Slice 68/155
FLAIR MRI.
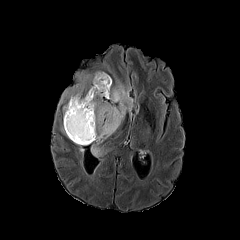
T1-weighted MR.
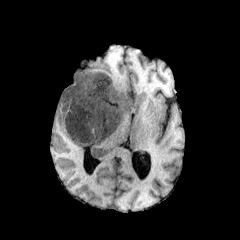
Post-contrast T1-weighted magnetic resonance.
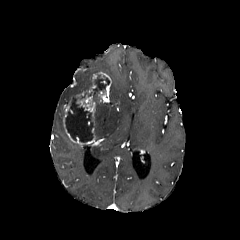
T2-weighted magnetic resonance.
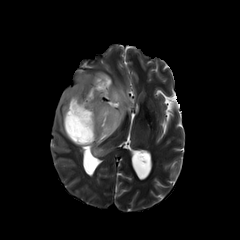
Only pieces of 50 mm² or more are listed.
* peritumoral edema: 96 78 133 139, 59 73 92 105, 91 144 102 156
* enhancing tumor: 63 72 111 146
* necrotic tumor core: 93 75 109 92, 65 96 94 142